FLAIR MRI.
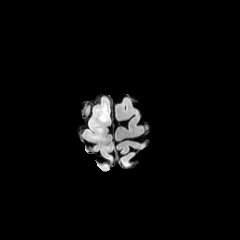
T1-weighted magnetic resonance.
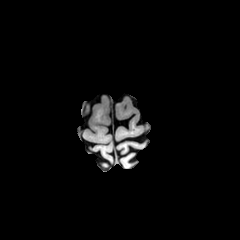
Post-contrast T1-weighted MRI.
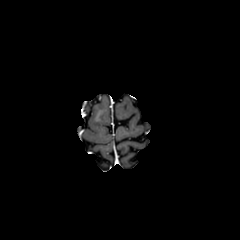
T2-weighted MR image.
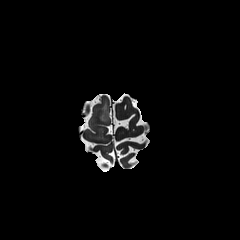
240x240 px | Head
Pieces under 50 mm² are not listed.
peritumoral edema: bounding box x1=90 y1=101 x2=109 y2=126
enhancing tumor: bounding box x1=95 y1=111 x2=103 y2=120